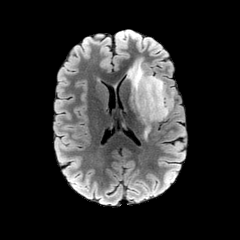
FLAIR magnetic resonance.
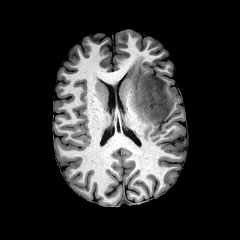
T1-weighted magnetic resonance.
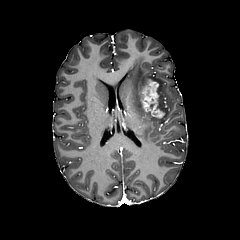
Post-contrast T1-weighted MR image.
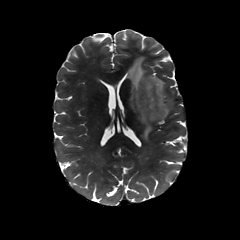
T2-weighted magnetic resonance of the same slice.
Axial view.
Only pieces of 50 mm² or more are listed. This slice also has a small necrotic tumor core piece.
enhancing tumor: bounding box 141 79 164 118
peritumoral edema: bounding box 127 59 172 139